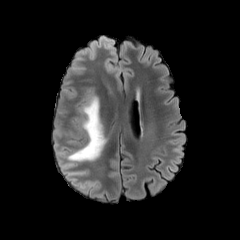
FLAIR magnetic resonance.
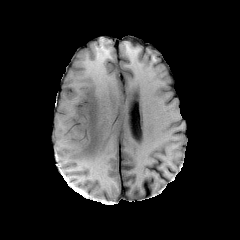
T1-weighted MR.
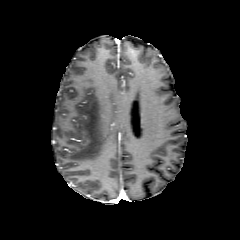
Same slice, post-contrast T1-weighted MR image.
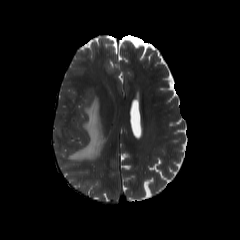
T2-weighted MR image of the same slice.
Head. 240x240 px. Axial view.
<segmentation>
  <peritumoral_edema>box=[67, 95, 105, 161]</peritumoral_edema>
</segmentation>